Brain; Slice index 65
FLAIR magnetic resonance.
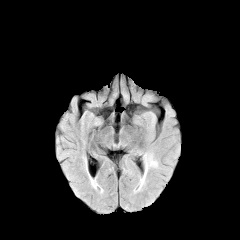
T1-weighted MRI.
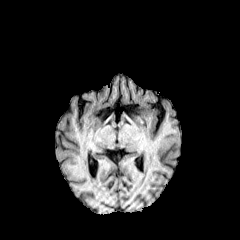
Post-contrast T1-weighted MR image.
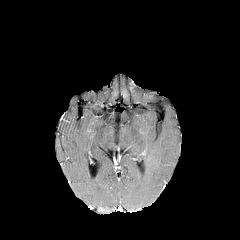
T2-weighted MR.
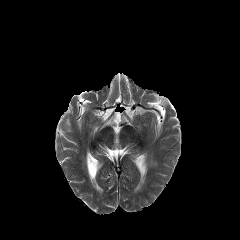
Findings:
• peritumoral edema: [x1=138, y1=154, x2=157, y2=190]